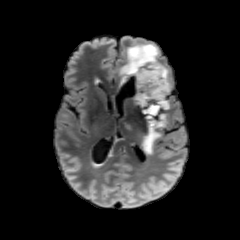
FLAIR MR.
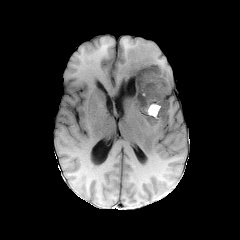
T1-weighted magnetic resonance.
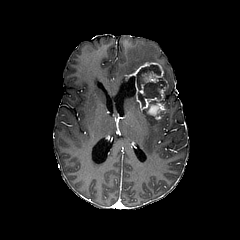
Post-contrast T1-weighted MR of the same slice.
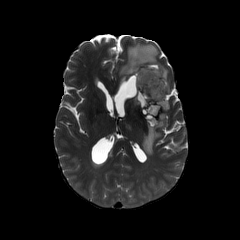
T2-weighted MRI of the same slice.
Axial view
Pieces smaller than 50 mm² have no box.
The largest enhancing tumor region appears at [125,62,168,123]. 2 necrotic tumor core regions are located at [146,105,158,124], [137,64,165,107]. The 2 largest peritumoral edema regions appear at [142,112,166,154], [119,42,170,92].